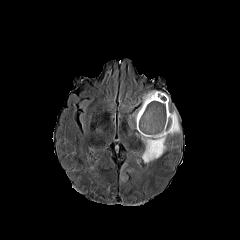
FLAIR MR image.
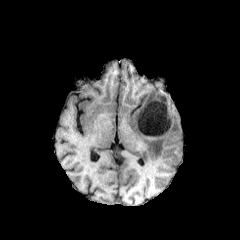
T1-weighted MR of the same slice.
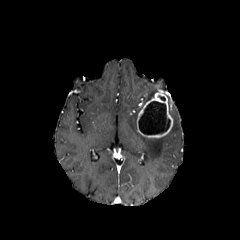
Same slice, post-contrast T1-weighted magnetic resonance.
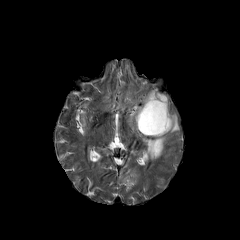
T2-weighted MR image.
240x240 px, Axial view, Head
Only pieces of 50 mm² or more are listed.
* peritumoral edema: region(143, 91, 157, 105); region(136, 108, 180, 162)
* necrotic tumor core: region(138, 101, 170, 134)
* enhancing tumor: region(136, 91, 173, 138)